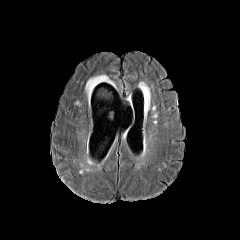
FLAIR magnetic resonance.
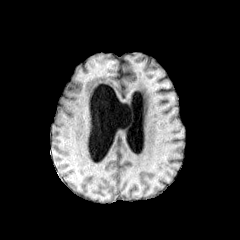
T1-weighted magnetic resonance of the same slice.
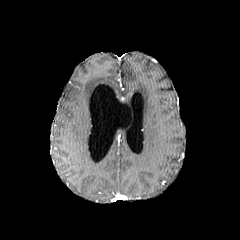
Post-contrast T1-weighted MR image.
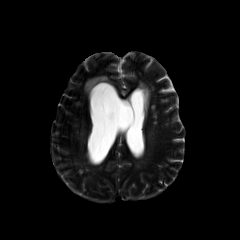
T2-weighted MR image.
Brain
peritumoral edema = 85 75 113 99